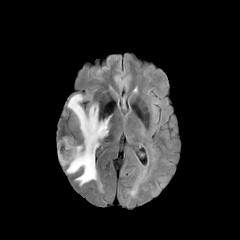
FLAIR MR.
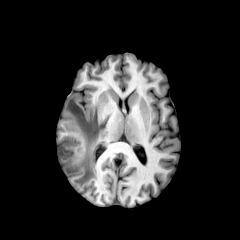
T1-weighted MR image.
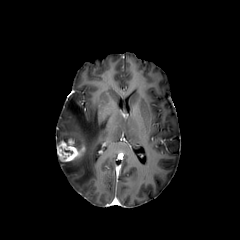
Post-contrast T1-weighted magnetic resonance.
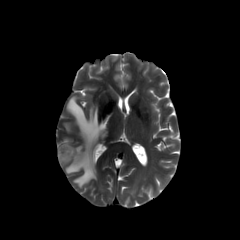
T2-weighted magnetic resonance.
Axial plane; Head
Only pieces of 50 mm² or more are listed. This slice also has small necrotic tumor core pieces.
The largest peritumoral edema region is at rect(60, 95, 110, 185). The enhancing tumor lies within rect(57, 138, 84, 161).